Axial view, Brain
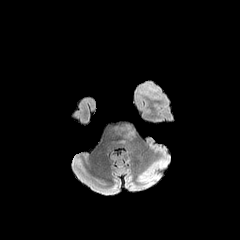
FLAIR MRI.
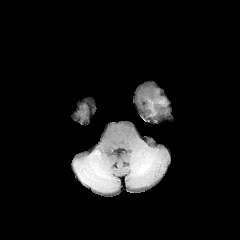
T1-weighted MR.
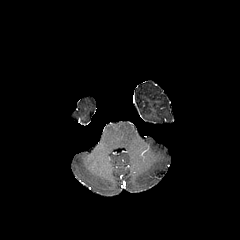
Post-contrast T1-weighted MR image.
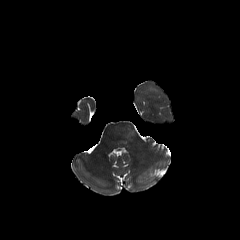
T2-weighted magnetic resonance of the same slice.
Annotated regions:
* peritumoral edema: [120,124,133,138]